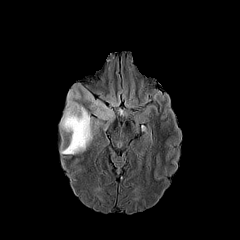
FLAIR magnetic resonance.
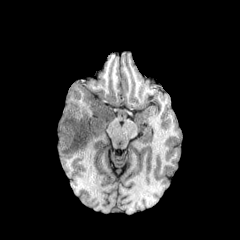
T1-weighted MR of the same slice.
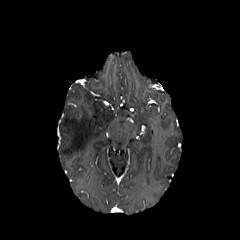
Post-contrast T1-weighted MR image of the same slice.
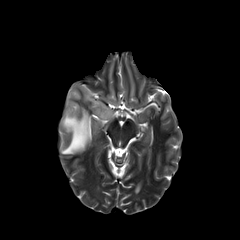
T2-weighted MRI.
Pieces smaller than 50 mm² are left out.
{"peritumoral_edema": ["box=[60, 87, 92, 154]", "box=[82, 89, 112, 120]"]}